FLAIR MR image.
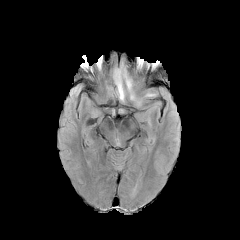
T1-weighted magnetic resonance.
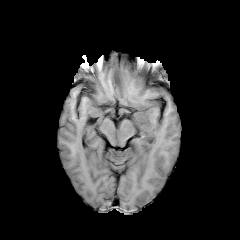
Post-contrast T1-weighted MR image.
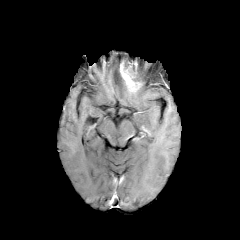
T2-weighted magnetic resonance.
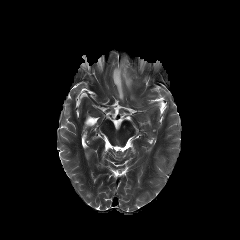
Brain
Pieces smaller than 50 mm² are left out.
Segmented structures:
• enhancing tumor: left=119, top=60, right=141, bottom=91
• peritumoral edema: left=127, top=87, right=157, bottom=104; left=112, top=67, right=125, bottom=101
• necrotic tumor core: left=124, top=62, right=134, bottom=73